Slice 115 of 155
FLAIR MR image.
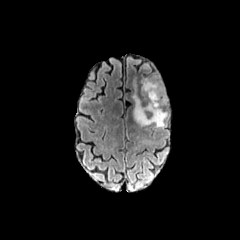
T1-weighted MR.
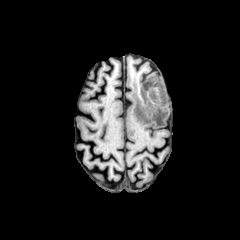
Post-contrast T1-weighted magnetic resonance.
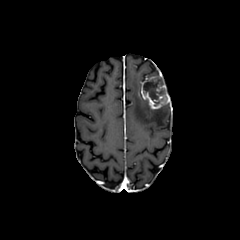
T2-weighted magnetic resonance.
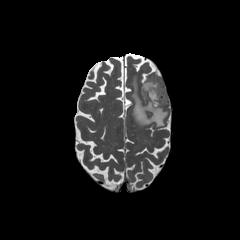
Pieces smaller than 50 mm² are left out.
Findings:
- necrotic tumor core: box(143, 79, 164, 100)
- enhancing tumor: box(140, 76, 169, 109)
- peritumoral edema: box(132, 80, 168, 127)